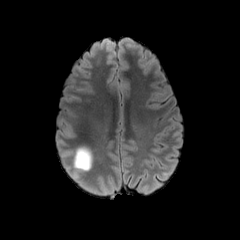
FLAIR MRI.
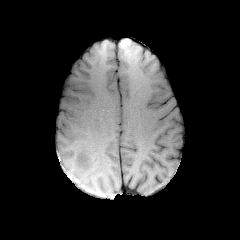
T1-weighted magnetic resonance.
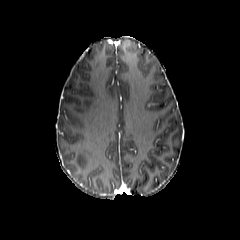
Post-contrast T1-weighted MR.
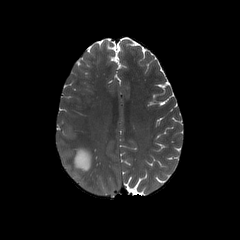
Same slice, T2-weighted MR image.
Image size 240x240 | Head
peritumoral edema at left=72, top=146, right=92, bottom=171